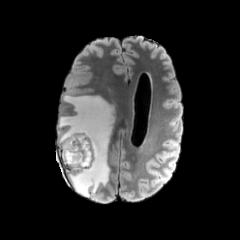
FLAIR MRI.
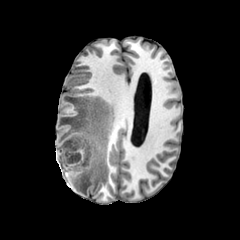
T1-weighted MRI.
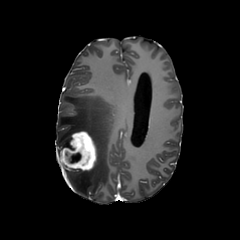
Post-contrast T1-weighted MRI of the same slice.
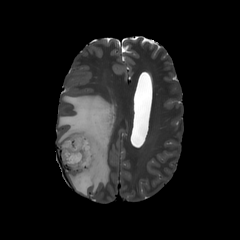
T2-weighted MRI.
Axial plane. Image size 240x240. Brain.
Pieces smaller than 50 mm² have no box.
enhancing tumor — (x1=59, y1=130, x2=97, y2=171)
necrotic tumor core — (x1=69, y1=152, x2=81, y2=163)
peritumoral edema — (x1=57, y1=94, x2=114, y2=196)